Slice 59/155; Axial view; Image width 240 mm; Head
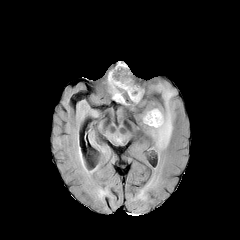
FLAIR MR.
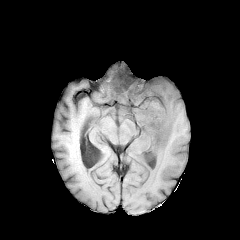
T1-weighted MR.
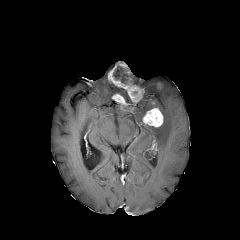
Post-contrast T1-weighted MRI of the same slice.
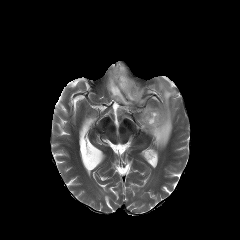
T2-weighted MRI of the same slice.
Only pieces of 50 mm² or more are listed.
enhancing_tumor:
  - [142, 108, 163, 127]
  - [108, 62, 144, 103]
  - [112, 93, 129, 106]
peritumoral_edema:
  - [144, 83, 176, 149]
  - [108, 80, 122, 95]